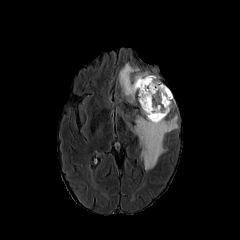
FLAIR MR.
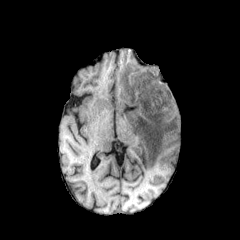
Same slice, T1-weighted MR image.
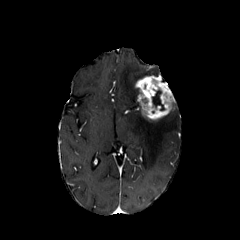
Same slice, post-contrast T1-weighted magnetic resonance.
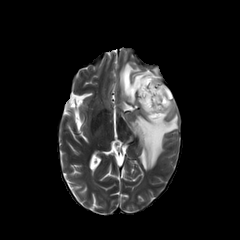
Same slice, T2-weighted MR image.
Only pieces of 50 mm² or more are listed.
necrotic tumor core = {"x1": 152, "y1": 90, "x2": 164, "y2": 110}
peritumoral edema = {"x1": 128, "y1": 114, "x2": 178, "y2": 170}, {"x1": 119, "y1": 63, "x2": 150, "y2": 103}
enhancing tumor = {"x1": 135, "y1": 75, "x2": 174, "y2": 120}